FLAIR MRI.
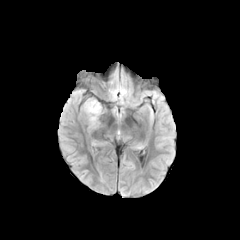
T1-weighted magnetic resonance.
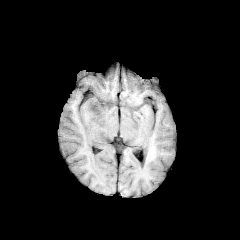
Post-contrast T1-weighted MR.
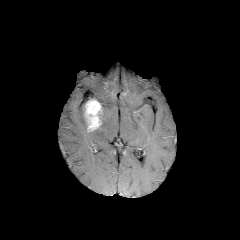
T2-weighted MR.
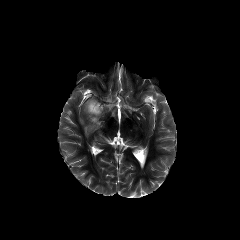
Image size 240x240, Head
2 peritumoral edema regions appear at rect(80, 107, 95, 137); rect(100, 107, 108, 127). The enhancing tumor appears at rect(83, 98, 103, 132).